FLAIR MR image.
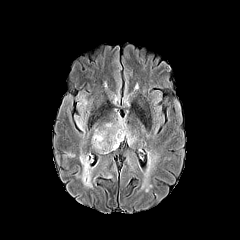
T1-weighted MRI.
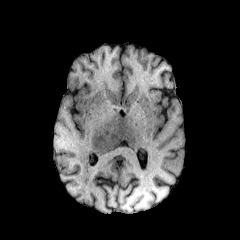
Post-contrast T1-weighted MRI.
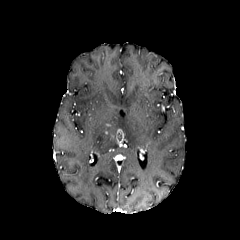
T2-weighted magnetic resonance.
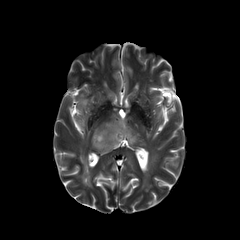
Head
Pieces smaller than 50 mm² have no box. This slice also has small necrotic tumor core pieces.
{
  "enhancing_tumor": [
    "box=[116, 129, 124, 142]"
  ],
  "peritumoral_edema": [
    "box=[79, 153, 92, 187]",
    "box=[91, 110, 136, 154]",
    "box=[76, 116, 85, 129]"
  ]
}